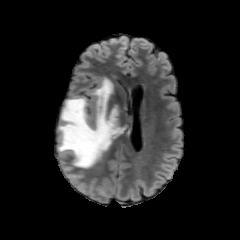
FLAIR magnetic resonance.
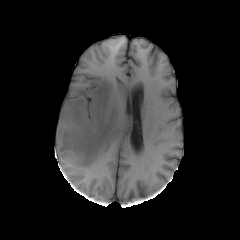
T1-weighted MR image of the same slice.
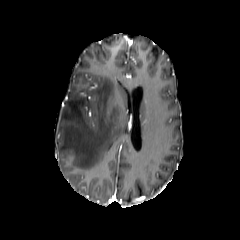
Post-contrast T1-weighted MRI.
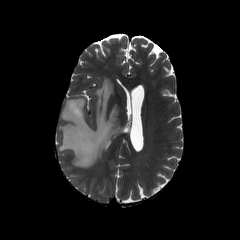
T2-weighted MRI of the same slice.
Axial view
peritumoral edema: bounding box bbox(58, 78, 123, 168)